FLAIR MR image.
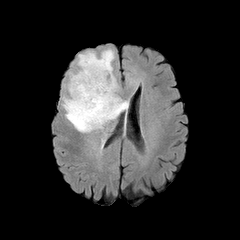
T1-weighted MR image.
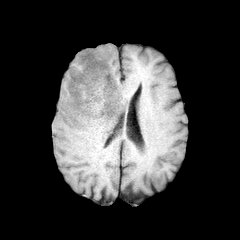
Post-contrast T1-weighted magnetic resonance.
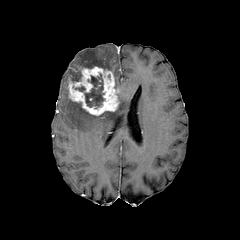
T2-weighted MR.
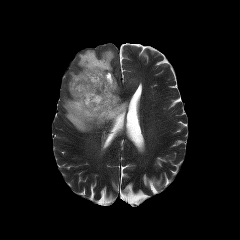
240x240, Brain
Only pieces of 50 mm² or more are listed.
The largest enhancing tumor region is bounded by 68, 66, 119, 115. The 2 largest peritumoral edema regions are bounded by 70, 49, 114, 81; 63, 96, 128, 132. The largest necrotic tumor core region lies within 84, 74, 103, 107.